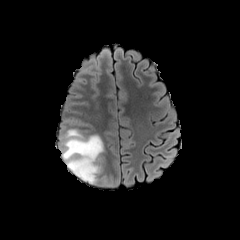
FLAIR MRI.
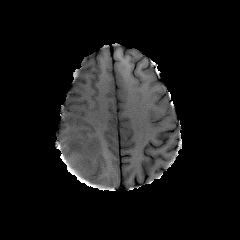
Same slice, T1-weighted MR.
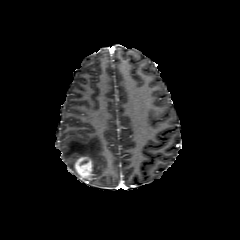
Same slice, post-contrast T1-weighted MRI.
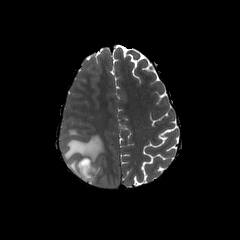
T2-weighted magnetic resonance.
Axial view | 240x240 px | Brain
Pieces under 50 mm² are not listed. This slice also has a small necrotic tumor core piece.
peritumoral_edema:
  - region(60, 129, 103, 173)
enhancing_tumor:
  - region(69, 156, 96, 185)